Head, 240x240, Slice 90/155, Axial view
FLAIR MRI.
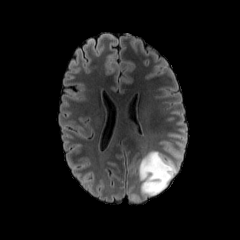
T1-weighted MR.
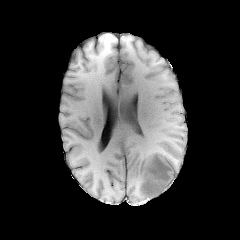
Post-contrast T1-weighted MR image.
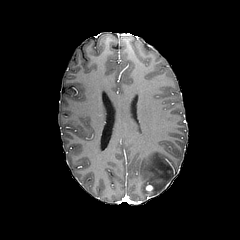
T2-weighted MR image.
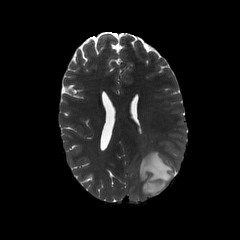
Segmented structures:
- enhancing tumor: [146,184,154,192]
- peritumoral edema: [138,151,179,197]